Brain, Slice 128 of 155
FLAIR MR image.
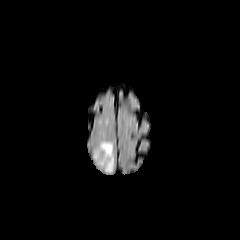
T1-weighted MR.
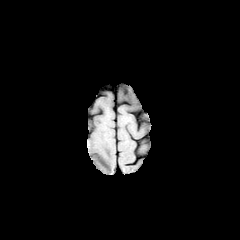
Post-contrast T1-weighted MR.
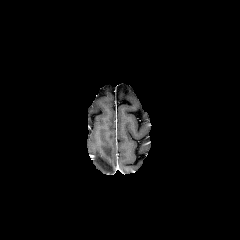
T2-weighted magnetic resonance.
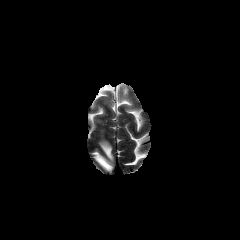
The peritumoral edema lies within bbox=[94, 141, 113, 172].